FLAIR MR.
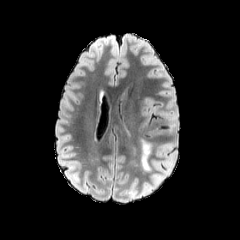
T1-weighted magnetic resonance.
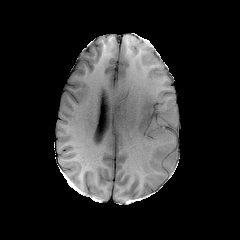
Post-contrast T1-weighted MR image.
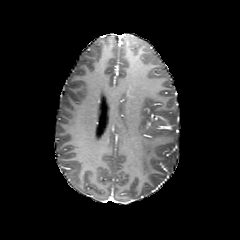
T2-weighted MR image.
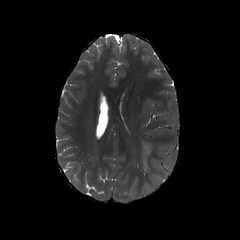
Axial view | Head
peritumoral_edema:
  - [x1=141, y1=139, x2=151, y2=171]